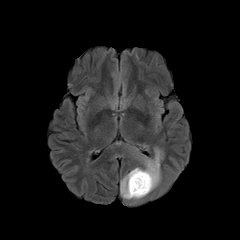
FLAIR magnetic resonance.
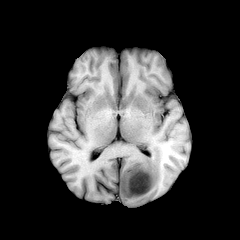
T1-weighted MR image.
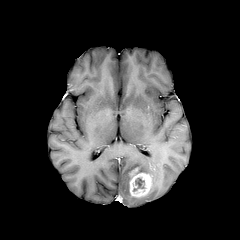
Post-contrast T1-weighted magnetic resonance.
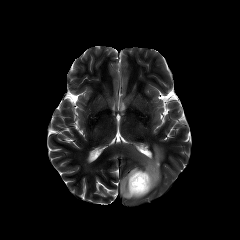
T2-weighted MR.
240x240 px, Brain, Axial view
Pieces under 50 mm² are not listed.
{
  "necrotic_tumor_core": [
    "135,178,144,188"
  ],
  "peritumoral_edema": [
    "136,147,162,192",
    "120,170,144,200"
  ],
  "enhancing_tumor": [
    "129,168,152,197"
  ]
}